Axial slice | Slice index 71 | Image width 240 mm, 1.00 mm slice spacing | Head
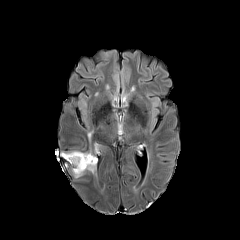
FLAIR magnetic resonance.
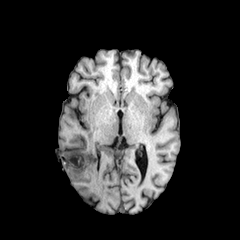
T1-weighted MR image.
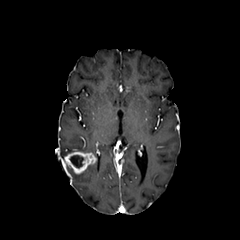
Same slice, post-contrast T1-weighted MRI.
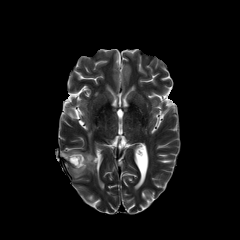
T2-weighted magnetic resonance of the same slice.
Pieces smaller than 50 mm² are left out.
{"necrotic_tumor_core": ["l=70, t=155, r=83, b=167"], "enhancing_tumor": ["l=64, t=151, r=96, b=174"], "peritumoral_edema": ["l=86, t=162, r=96, b=172"]}